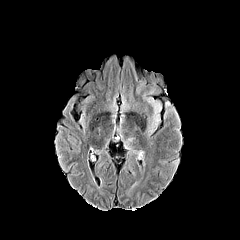
FLAIR MRI.
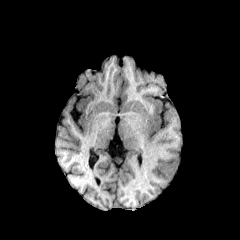
Same slice, T1-weighted MR image.
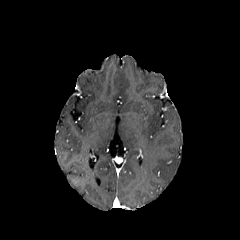
Post-contrast T1-weighted MR of the same slice.
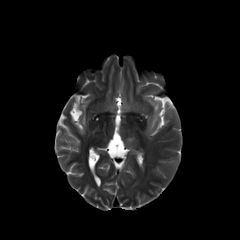
T2-weighted magnetic resonance.
Brain
The peritumoral edema is bounded by x1=124 y1=137 x2=135 y2=148.